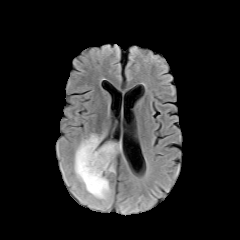
FLAIR MR image.
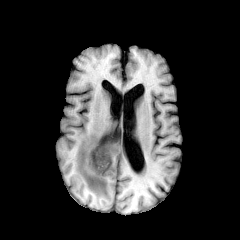
Same slice, T1-weighted MR.
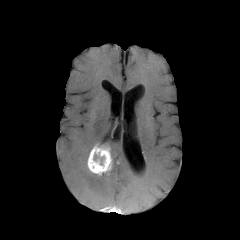
Post-contrast T1-weighted magnetic resonance of the same slice.
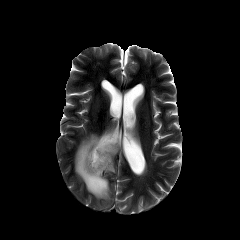
Same slice, T2-weighted MRI.
{
  "necrotic_tumor_core": [
    "rect(93, 152, 105, 165)"
  ],
  "enhancing_tumor": [
    "rect(87, 142, 112, 175)"
  ],
  "peritumoral_edema": [
    "rect(74, 133, 121, 208)"
  ]
}